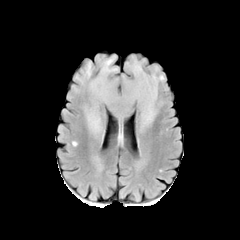
FLAIR magnetic resonance.
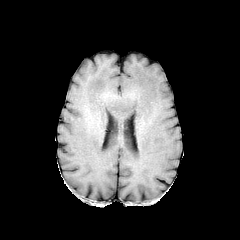
T1-weighted MRI.
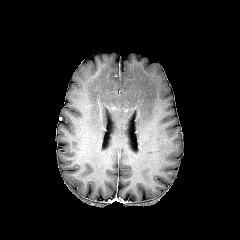
Post-contrast T1-weighted MRI.
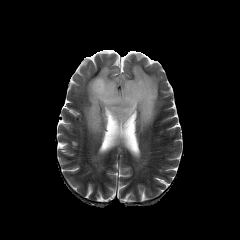
T2-weighted MR image of the same slice.
Axial slice. 240x240 px.
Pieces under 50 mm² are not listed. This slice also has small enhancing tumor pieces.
2 peritumoral edema regions appear at rect(76, 63, 91, 83); rect(86, 56, 164, 133).